Slice 70/155; Head
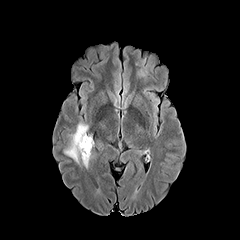
FLAIR magnetic resonance.
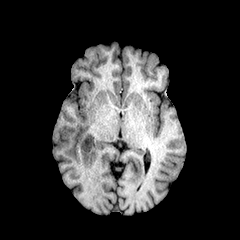
Same slice, T1-weighted MR.
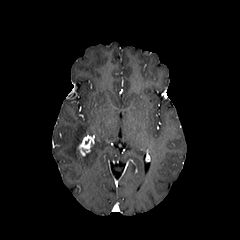
Same slice, post-contrast T1-weighted MR image.
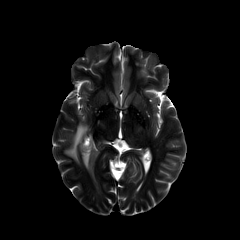
T2-weighted MR.
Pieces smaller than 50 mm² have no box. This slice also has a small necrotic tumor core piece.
The enhancing tumor appears at x1=78, y1=135, x2=93, y2=155. 2 peritumoral edema regions are bounded by x1=64, y1=122, x2=91, y2=167; x1=136, y1=68, x2=145, y2=78.